FLAIR MR image.
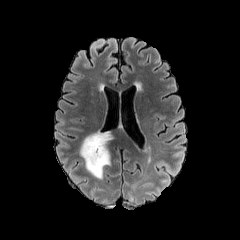
T1-weighted magnetic resonance.
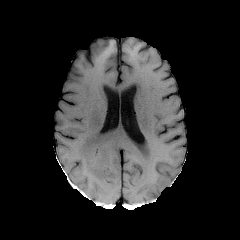
Post-contrast T1-weighted magnetic resonance.
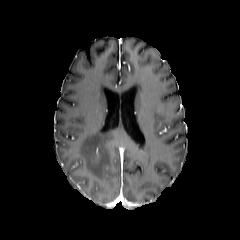
T2-weighted magnetic resonance.
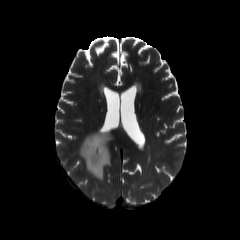
Brain, Image size 240x240
peritumoral edema: bounding box left=79, top=131, right=111, bottom=179